FLAIR magnetic resonance.
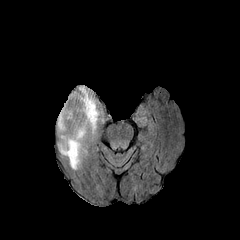
T1-weighted MR image.
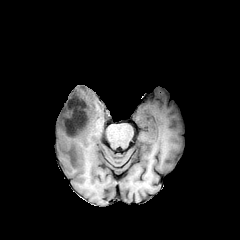
Post-contrast T1-weighted magnetic resonance.
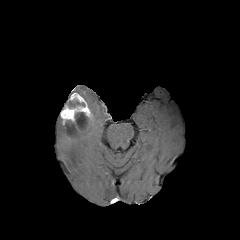
T2-weighted magnetic resonance.
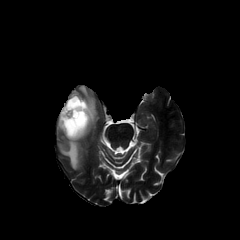
Brain.
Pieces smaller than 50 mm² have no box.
The enhancing tumor is bounded by 60, 92, 93, 138. The largest peritumoral edema region is bounded by 57, 85, 100, 169. The 2 largest necrotic tumor core regions are bounded by 66, 120, 78, 137; 75, 112, 87, 130.